Slice index 58, Head
FLAIR MRI.
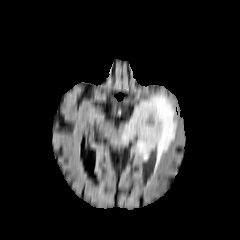
T1-weighted magnetic resonance.
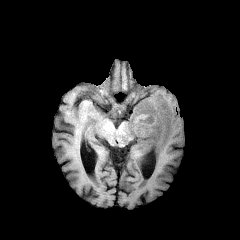
Post-contrast T1-weighted magnetic resonance.
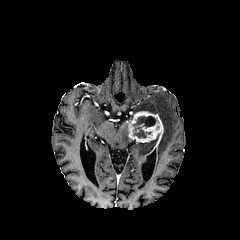
T2-weighted MR.
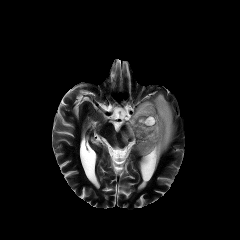
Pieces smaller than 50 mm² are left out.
enhancing tumor: bbox=[128, 111, 163, 147]
necrotic tumor core: bbox=[133, 116, 156, 127]; bbox=[134, 127, 151, 137]
peritumoral edema: bbox=[132, 141, 156, 155]; bbox=[134, 93, 175, 165]; bbox=[121, 122, 133, 143]